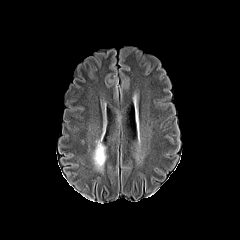
FLAIR MR.
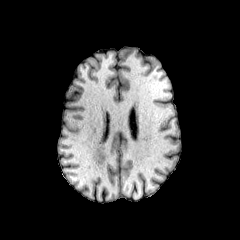
Same slice, T1-weighted MR.
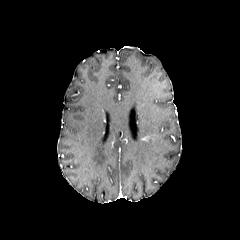
Post-contrast T1-weighted magnetic resonance.
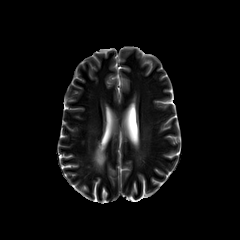
Same slice, T2-weighted MR.
Axial view, Image size 240x240
peritumoral edema at <bbox>93, 142, 106, 170</bbox>